Slice 65 of 155
FLAIR MR.
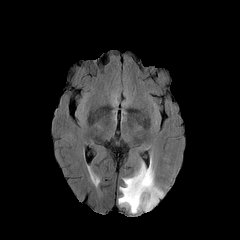
T1-weighted MR image.
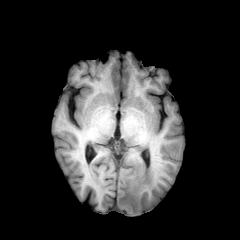
Post-contrast T1-weighted MRI.
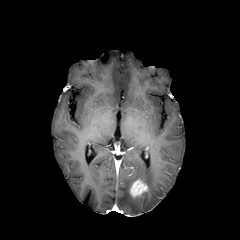
T2-weighted magnetic resonance.
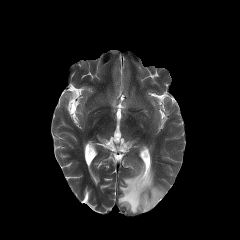
<segmentation>
  <enhancing_tumor>{"x1": 129, "y1": 179, "x2": 148, "y2": 200}</enhancing_tumor>
  <peritumoral_edema>{"x1": 118, "y1": 160, "x2": 163, "y2": 213}</peritumoral_edema>
</segmentation>